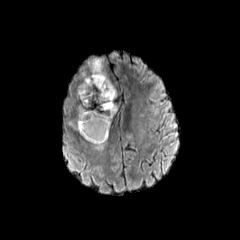
FLAIR MR.
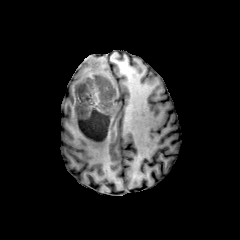
T1-weighted MR.
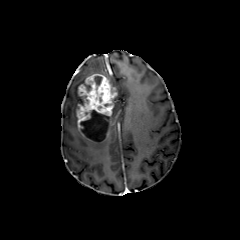
Same slice, post-contrast T1-weighted MR image.
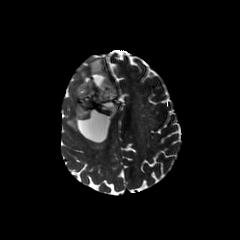
T2-weighted MR image.
Brain, Axial view
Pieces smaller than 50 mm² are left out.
peritumoral edema: bounding box x1=76 y1=58 x2=107 y2=101, x1=89 y1=139 x2=106 y2=149, x1=111 y1=103 x2=117 y2=120, x1=69 y1=115 x2=77 y2=129
enhancing tumor: bounding box x1=76 y1=74 x2=116 y2=142
necrotic tumor core: bounding box x1=80 y1=110 x2=109 y2=141, x1=94 y1=76 x2=101 y2=85